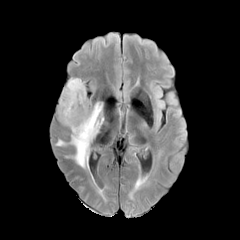
FLAIR MR image.
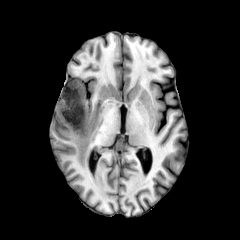
Same slice, T1-weighted MRI.
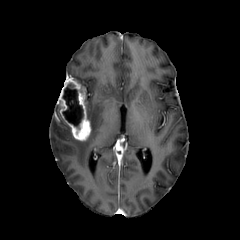
Post-contrast T1-weighted MRI of the same slice.
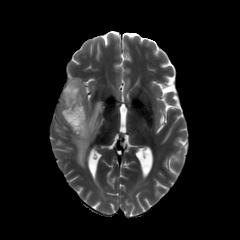
T2-weighted MR of the same slice.
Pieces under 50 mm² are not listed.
Findings:
• enhancing tumor: {"x1": 57, "y1": 77, "x2": 91, "y2": 140}
• necrotic tumor core: {"x1": 62, "y1": 83, "x2": 83, "y2": 129}
• peritumoral edema: {"x1": 71, "y1": 102, "x2": 104, "y2": 168}